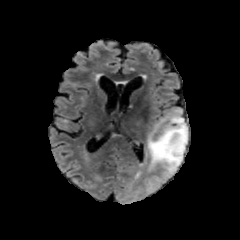
FLAIR MR.
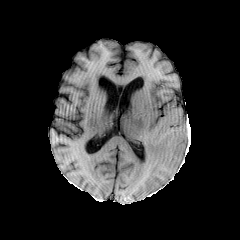
T1-weighted MRI.
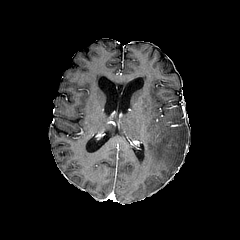
Post-contrast T1-weighted magnetic resonance of the same slice.
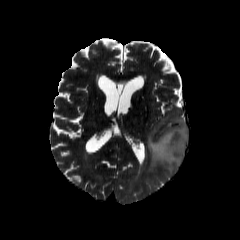
T2-weighted magnetic resonance.
Head, Axial slice, 240x240 px
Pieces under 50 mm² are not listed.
The largest peritumoral edema region appears at region(147, 110, 188, 174).